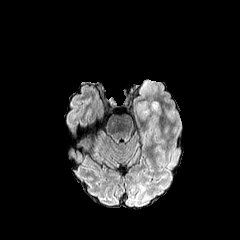
FLAIR MR image.
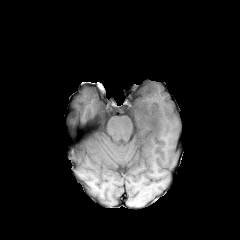
T1-weighted MRI.
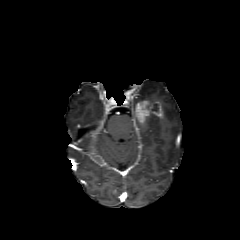
Same slice, post-contrast T1-weighted MRI.
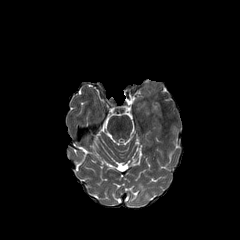
Same slice, T2-weighted MRI.
240x240 px. Brain.
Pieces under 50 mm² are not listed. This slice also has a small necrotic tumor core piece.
<segmentation>
  <enhancing_tumor><bbox>135, 100, 162, 121</bbox></enhancing_tumor>
</segmentation>